Axial plane; Head; Image covers 240 mm x 240 mm
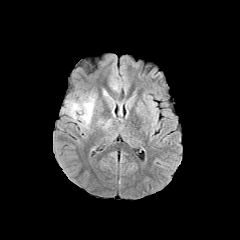
FLAIR MR image.
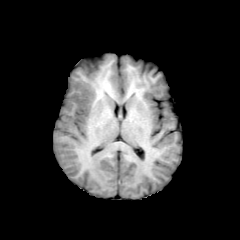
T1-weighted magnetic resonance.
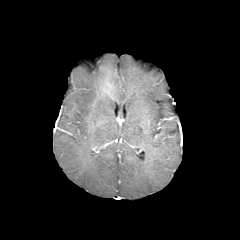
Post-contrast T1-weighted MRI.
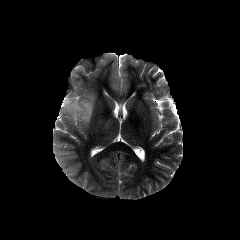
T2-weighted MRI of the same slice.
peritumoral edema = 65 97 94 126